FLAIR magnetic resonance.
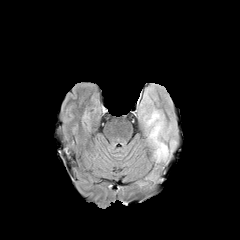
T1-weighted MR image.
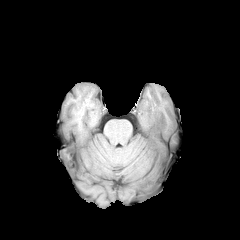
Post-contrast T1-weighted MR image.
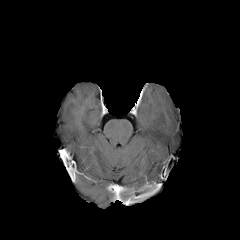
T2-weighted MR.
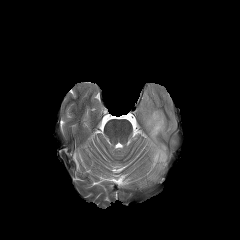
240x240
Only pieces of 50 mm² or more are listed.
Segmented structures:
• peritumoral edema: <box>143,109,171,162</box>